FLAIR MR.
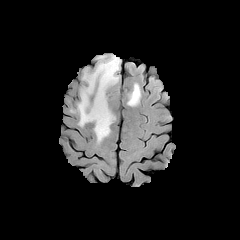
T1-weighted MRI.
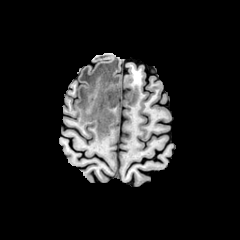
Post-contrast T1-weighted magnetic resonance.
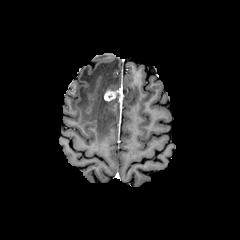
T2-weighted magnetic resonance.
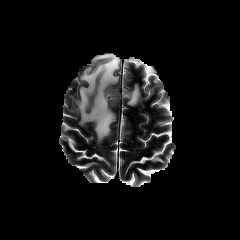
Axial view | Image size 240x240 | Brain
peritumoral edema: (127,83,140,106), (77,55,120,142) | enhancing tumor: (104,88,123,101)